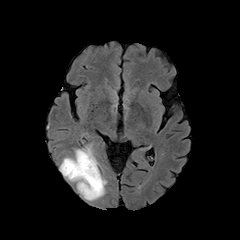
FLAIR magnetic resonance.
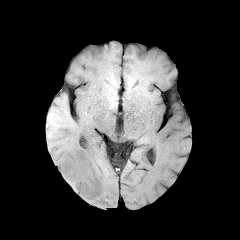
T1-weighted MRI.
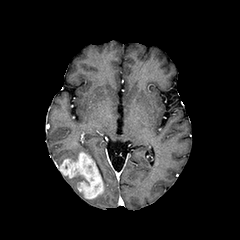
Post-contrast T1-weighted MR of the same slice.
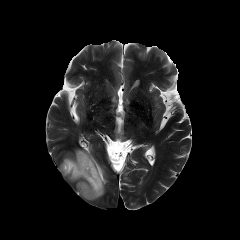
T2-weighted MR.
Axial slice.
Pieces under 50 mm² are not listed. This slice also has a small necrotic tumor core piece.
{"enhancing_tumor": ["[59,152,103,199]"], "peritumoral_edema": ["[63,145,107,200]", "[64,175,88,186]"]}